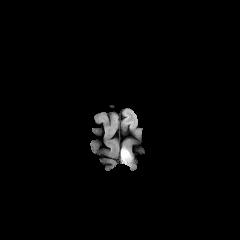
FLAIR MR.
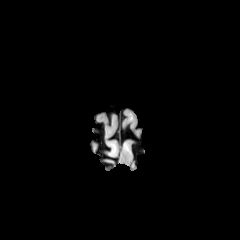
T1-weighted MR of the same slice.
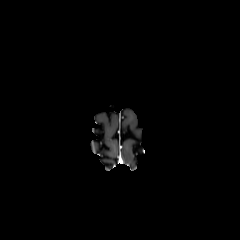
Post-contrast T1-weighted MR image.
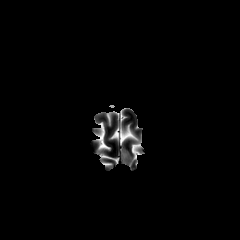
T2-weighted MR of the same slice.
Brain.
<segmentation>
  <peritumoral_edema>box=[121, 146, 133, 166]</peritumoral_edema>
</segmentation>